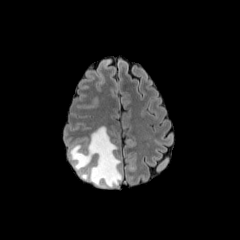
FLAIR magnetic resonance.
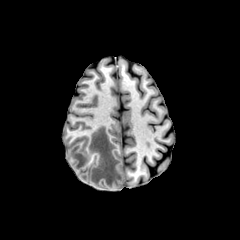
T1-weighted MR of the same slice.
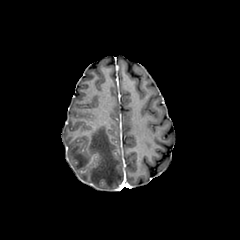
Post-contrast T1-weighted MRI.
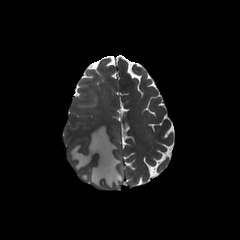
T2-weighted MRI of the same slice.
Head | Axial slice
peritumoral edema: (x1=69, y1=126, x2=122, y2=187)